Axial slice. Head. Slice index 52.
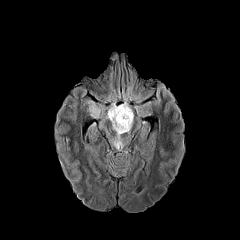
FLAIR MRI.
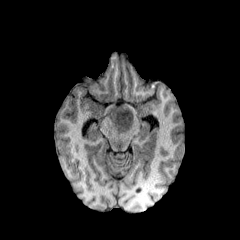
Same slice, T1-weighted MR image.
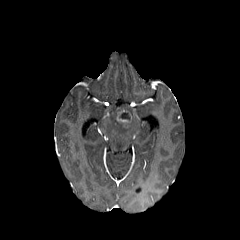
Same slice, post-contrast T1-weighted MR.
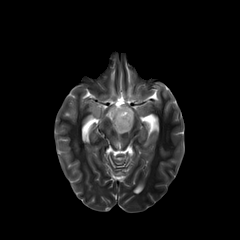
T2-weighted MRI.
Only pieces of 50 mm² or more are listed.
enhancing tumor at region(112, 107, 131, 127)
peritumoral edema at region(88, 101, 103, 116); region(106, 102, 134, 149)
necrotic tumor core at region(119, 112, 130, 120)